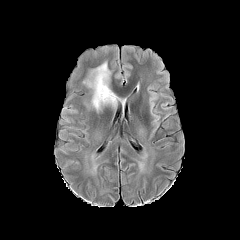
FLAIR magnetic resonance.
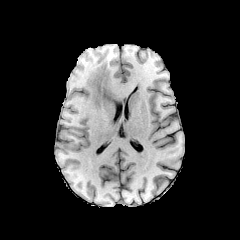
Same slice, T1-weighted MR image.
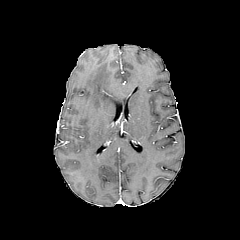
Same slice, post-contrast T1-weighted MRI.
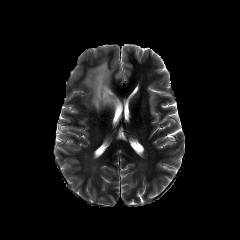
T2-weighted MR image.
Axial plane, Head
The peritumoral edema is at 83 62 119 111.